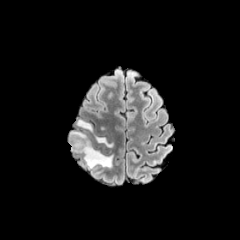
FLAIR MRI.
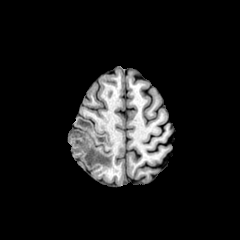
T1-weighted MR image.
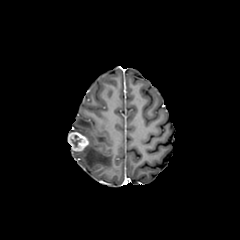
Post-contrast T1-weighted MR of the same slice.
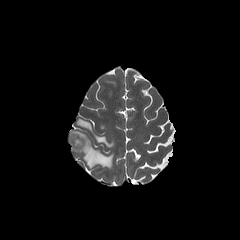
Same slice, T2-weighted MRI.
240x240, Brain
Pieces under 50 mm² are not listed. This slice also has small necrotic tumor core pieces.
peritumoral edema = 69:130:112:168, 95:136:113:148, 76:118:92:132
enhancing tumor = 68:131:88:151